Slice 69 of 155 | Brain
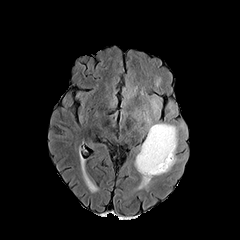
FLAIR MR.
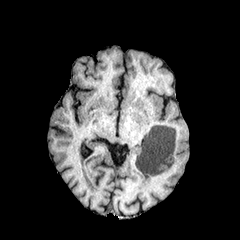
T1-weighted MR.
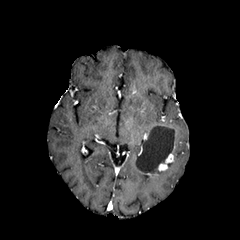
Post-contrast T1-weighted MR.
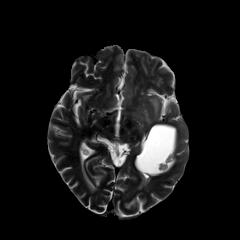
T2-weighted magnetic resonance.
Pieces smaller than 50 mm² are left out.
necrotic tumor core: x1=137, y1=125, x2=174, y2=174 | peritumoral edema: x1=140, y1=174, x2=152, y2=188; x1=150, y1=98, x2=159, y2=119; x1=144, y1=110, x2=178, y2=175 | enhancing tumor: x1=157, y1=129, x2=176, y2=171